Axial plane | Image width 240 mm
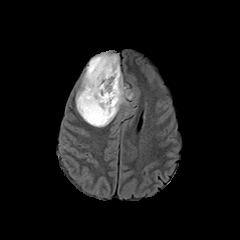
FLAIR MR.
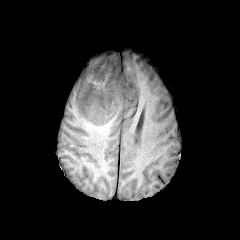
T1-weighted magnetic resonance of the same slice.
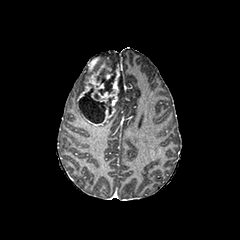
Post-contrast T1-weighted MRI of the same slice.
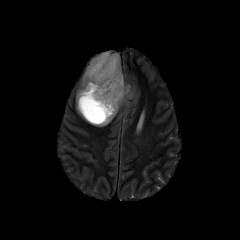
T2-weighted MR image of the same slice.
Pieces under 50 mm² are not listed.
enhancing tumor: <bbox>88, 56, 100, 72</bbox>, <bbox>77, 56, 120, 125</bbox>
necrotic tumor core: <bbox>98, 73, 115, 95</bbox>, <bbox>78, 84, 105, 123</bbox>
peritumoral edema: <bbox>75, 51, 119, 125</bbox>, <bbox>94, 72, 133, 127</bbox>